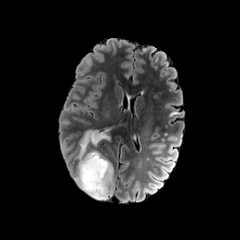
FLAIR MR image.
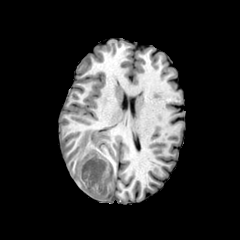
T1-weighted MRI.
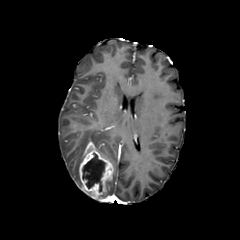
Post-contrast T1-weighted MR.
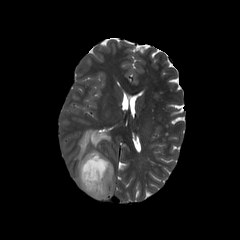
T2-weighted magnetic resonance.
Image size 240x240, Axial view
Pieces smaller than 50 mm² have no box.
enhancing tumor: [79,142,113,201] | peritumoral edema: [109,173,114,195], [74,129,110,188] | necrotic tumor core: [82,153,105,191]